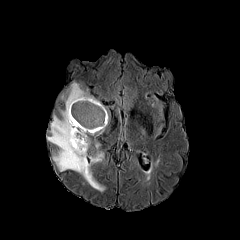
FLAIR magnetic resonance.
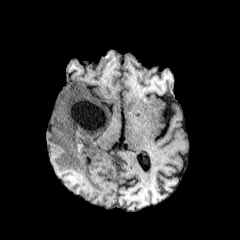
T1-weighted MR image of the same slice.
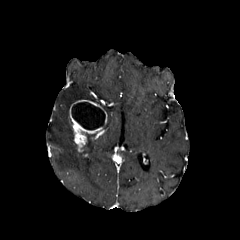
Post-contrast T1-weighted MR image of the same slice.
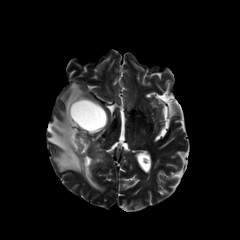
T2-weighted MR image.
Brain; Axial view; 240x240 px
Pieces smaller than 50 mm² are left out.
necrotic tumor core: bounding box {"x1": 71, "y1": 102, "x2": 105, "y2": 129}
enhancing tumor: bounding box {"x1": 69, "y1": 99, "x2": 107, "y2": 152}
peritumoral edema: bounding box {"x1": 47, "y1": 82, "x2": 104, "y2": 191}